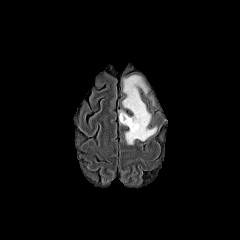
FLAIR MR.
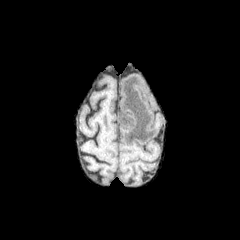
T1-weighted MR.
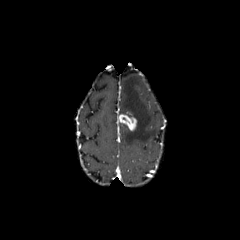
Post-contrast T1-weighted MR of the same slice.
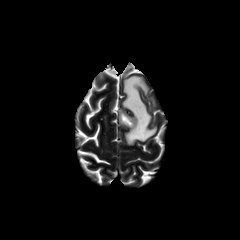
T2-weighted MR image.
Image size 240x240. Axial plane.
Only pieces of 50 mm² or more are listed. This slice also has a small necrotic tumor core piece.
Segmented structures:
- enhancing tumor: region(118, 114, 136, 130)
- peritumoral edema: region(122, 74, 157, 144)